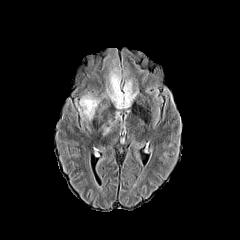
FLAIR MR.
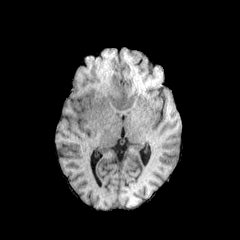
T1-weighted MR image.
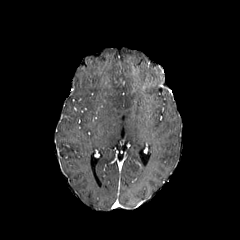
Post-contrast T1-weighted MRI.
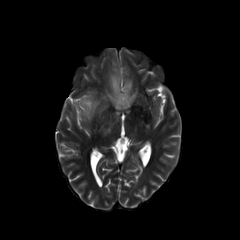
Same slice, T2-weighted magnetic resonance.
Axial slice | Brain
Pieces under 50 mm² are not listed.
peritumoral edema — bbox=[107, 72, 139, 108]; bbox=[79, 96, 98, 119]